Slice 13 of 155 | Head
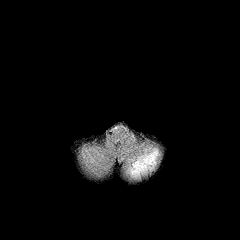
FLAIR magnetic resonance.
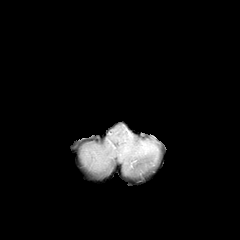
T1-weighted MRI.
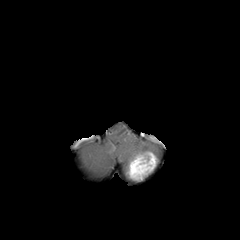
Post-contrast T1-weighted MR.
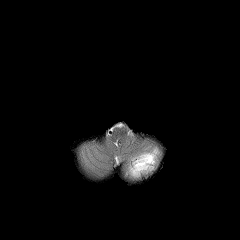
T2-weighted MR image.
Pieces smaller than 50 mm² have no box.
{
  "peritumoral_edema": [
    "(left=124, top=143, right=160, bottom=172)"
  ],
  "enhancing_tumor": [
    "(left=126, top=152, right=157, bottom=180)"
  ]
}